Slice 52 of 155.
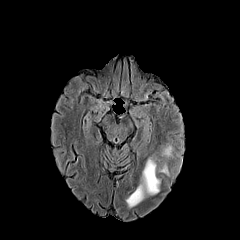
FLAIR magnetic resonance.
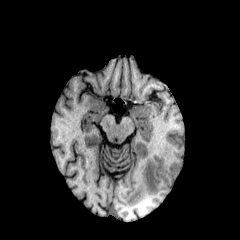
T1-weighted MRI.
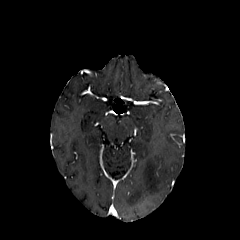
Post-contrast T1-weighted MR image.
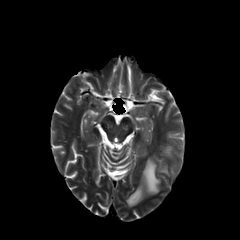
T2-weighted MR image.
3 peritumoral edema regions appear at region(160, 163, 169, 175); region(126, 157, 160, 207); region(161, 145, 172, 157).